FLAIR magnetic resonance.
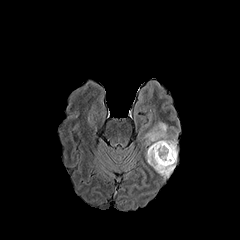
T1-weighted MRI.
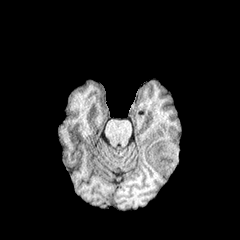
Post-contrast T1-weighted MRI.
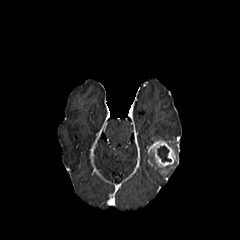
T2-weighted MRI.
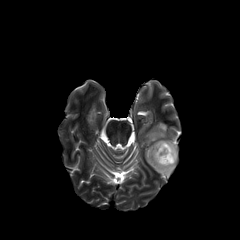
Axial slice. Brain.
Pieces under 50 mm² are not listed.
enhancing tumor at (left=148, top=139, right=177, bottom=175)
peritumoral edema at (left=145, top=122, right=172, bottom=144)
necrotic tumor core at (left=157, top=146, right=171, bottom=161)